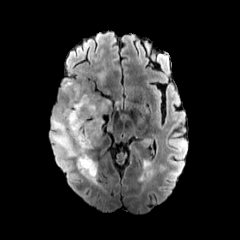
FLAIR magnetic resonance.
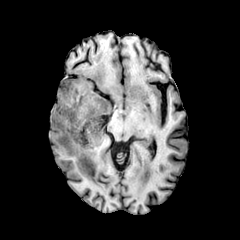
Same slice, T1-weighted magnetic resonance.
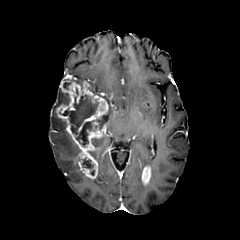
Post-contrast T1-weighted magnetic resonance.
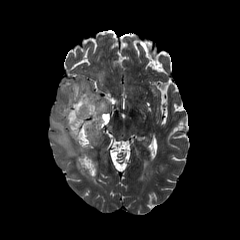
T2-weighted MR of the same slice.
Head. Axial slice.
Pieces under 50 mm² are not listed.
The 3 largest peritumoral edema regions are located at 50:110:80:169, 97:71:105:83, 143:160:153:177. The 2 largest enhancing tumor regions are bounded by 56:76:108:179, 141:165:150:185. The 4 largest necrotic tumor core regions appear at 82:158:93:168, 97:115:103:129, 61:92:69:104, 60:95:98:146.